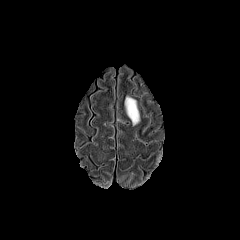
FLAIR MRI.
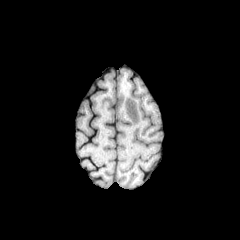
T1-weighted magnetic resonance.
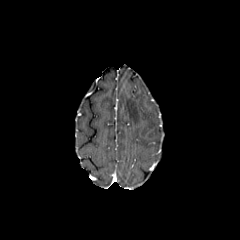
Post-contrast T1-weighted MR.
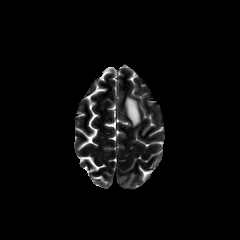
T2-weighted MR image.
Axial slice; Head
{
  "peritumoral_edema": [
    "left=125, top=97, right=140, bottom=125"
  ]
}